FLAIR magnetic resonance.
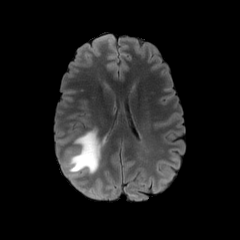
T1-weighted MR.
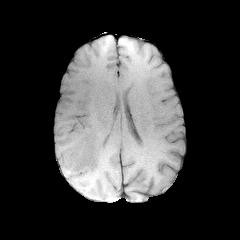
Post-contrast T1-weighted magnetic resonance.
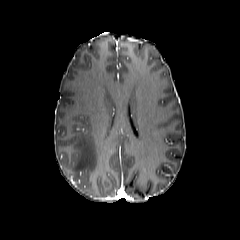
T2-weighted magnetic resonance.
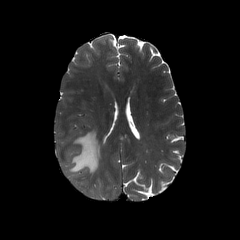
Head
{
  "peritumoral_edema": [
    "(x1=66, y1=128, x2=103, y2=175)"
  ]
}